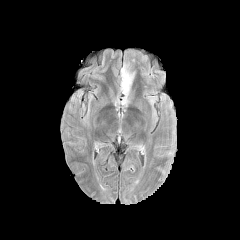
FLAIR MR image.
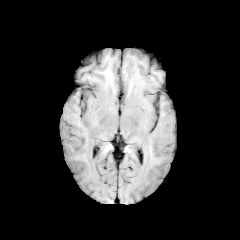
T1-weighted MRI.
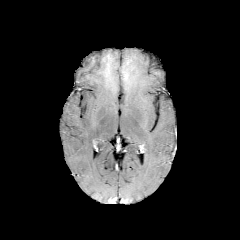
Post-contrast T1-weighted MR image.
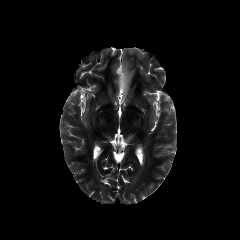
T2-weighted magnetic resonance of the same slice.
Axial view; Head
The peritumoral edema is bounded by x1=121, y1=64, x2=134, y2=95.